Axial view, Image width 240 mm
FLAIR magnetic resonance.
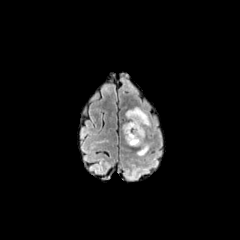
T1-weighted MRI.
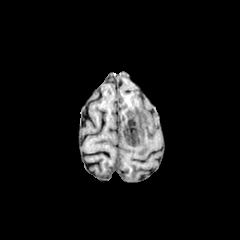
Post-contrast T1-weighted magnetic resonance.
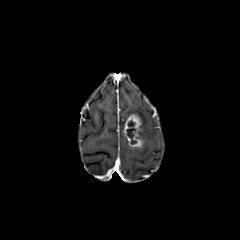
T2-weighted MR image.
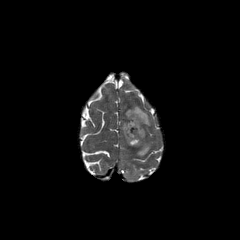
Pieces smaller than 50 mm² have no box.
The largest peritumoral edema region is bounded by 125,106,150,156. The enhancing tumor is bounded by 123,113,143,147. The necrotic tumor core is bounded by 126,120,136,144.